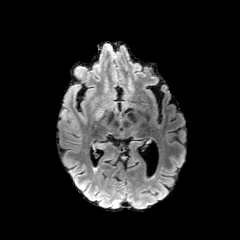
FLAIR MR image.
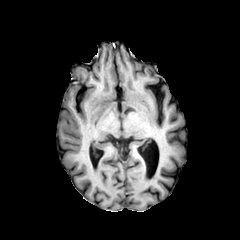
T1-weighted MR image.
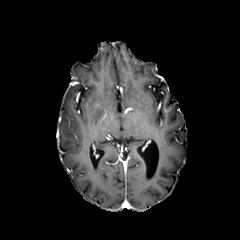
Post-contrast T1-weighted MR image of the same slice.
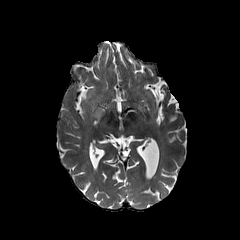
T2-weighted MRI.
Axial view, Head
peritumoral edema at (x1=95, y1=141, x2=111, y2=148), (x1=70, y1=83, x2=81, y2=89), (x1=96, y1=108, x2=103, y2=119)